FLAIR magnetic resonance.
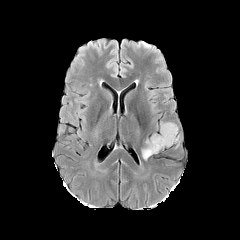
T1-weighted MR image.
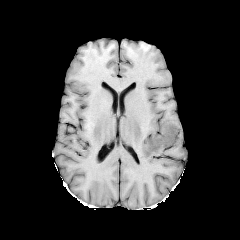
Post-contrast T1-weighted MR.
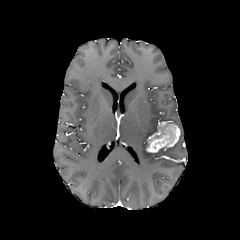
T2-weighted MR.
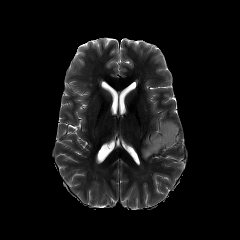
Head; 240x240
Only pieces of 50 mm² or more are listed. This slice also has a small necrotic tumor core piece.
{
  "enhancing_tumor": [
    "region(146, 122, 180, 152)"
  ],
  "peritumoral_edema": [
    "region(142, 148, 156, 159)"
  ]
}